Head. Image width 240 mm, 1.00 mm slice spacing.
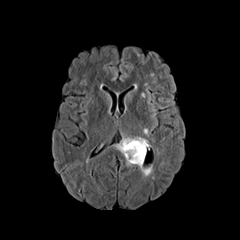
FLAIR MR.
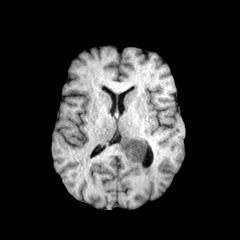
T1-weighted MR.
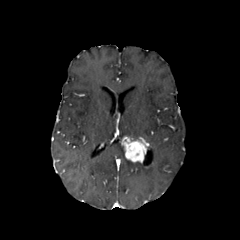
Post-contrast T1-weighted magnetic resonance.
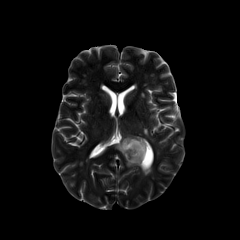
Same slice, T2-weighted MR image.
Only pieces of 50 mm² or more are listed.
The enhancing tumor is at box=[121, 137, 148, 163]. The 2 largest peritumoral edema regions are bounded by box=[126, 159, 152, 176]; box=[114, 143, 124, 155].